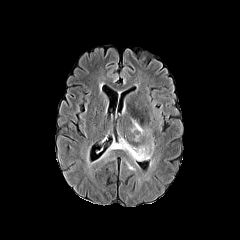
FLAIR MRI.
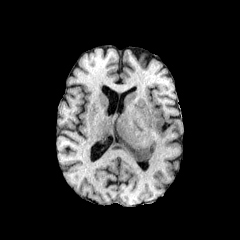
T1-weighted MR of the same slice.
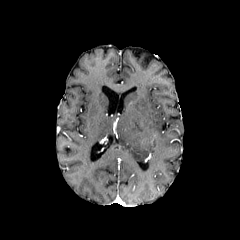
Same slice, post-contrast T1-weighted magnetic resonance.
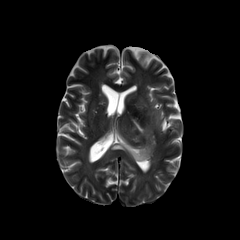
Same slice, T2-weighted MR.
Head
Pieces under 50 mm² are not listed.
peritumoral edema: (x1=103, y1=117, x2=155, y2=161)